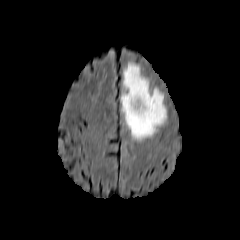
FLAIR MRI.
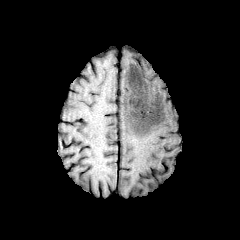
Same slice, T1-weighted MR image.
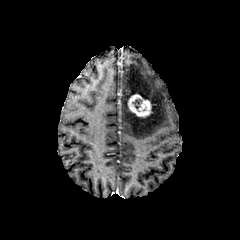
Same slice, post-contrast T1-weighted magnetic resonance.
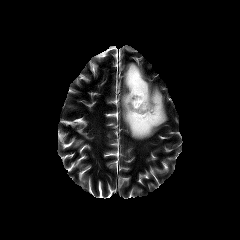
T2-weighted MR image of the same slice.
Brain; Axial slice
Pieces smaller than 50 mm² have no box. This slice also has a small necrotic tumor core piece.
enhancing tumor: bounding box bbox(127, 94, 152, 117)
peritumoral edema: bounding box bbox(121, 63, 166, 140)